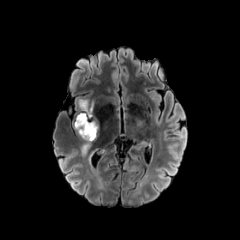
FLAIR magnetic resonance.
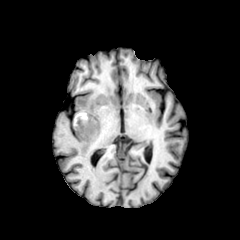
T1-weighted MR image of the same slice.
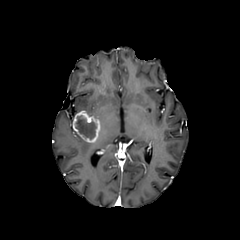
Post-contrast T1-weighted MR of the same slice.
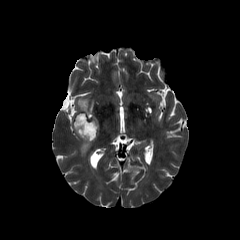
T2-weighted magnetic resonance of the same slice.
Head | Image size 240x240
2 peritumoral edema regions are bounded by (81,141,91,153), (78,99,93,115). The necrotic tumor core is bounded by (76,115,96,139). The enhancing tumor is at (73,111,100,142).